FLAIR magnetic resonance.
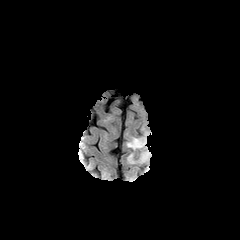
T1-weighted MR.
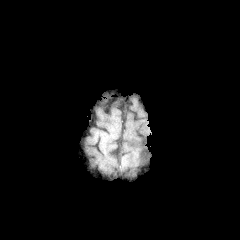
Post-contrast T1-weighted MR.
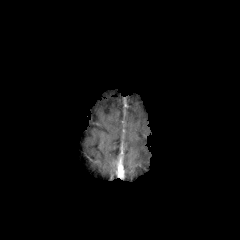
T2-weighted MR image.
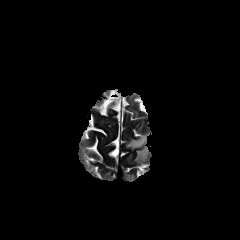
Head | Axial slice | 240x240
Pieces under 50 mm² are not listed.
{"peritumoral_edema": ["(140, 146, 150, 162)", "(127, 135, 146, 149)"]}